Image width 240 mm, 1.00 mm slice spacing. Axial slice.
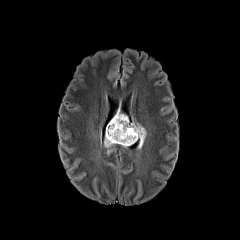
FLAIR magnetic resonance.
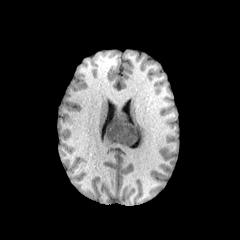
T1-weighted MR.
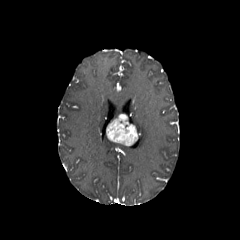
Same slice, post-contrast T1-weighted MRI.
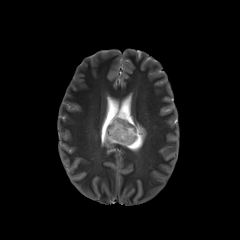
T2-weighted MR.
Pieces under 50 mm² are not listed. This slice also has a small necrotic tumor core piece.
<segmentation>
  <enhancing_tumor>106,114,140,146</enhancing_tumor>
  <peritumoral_edema>133,123,146,148; 104,135,117,148</peritumoral_edema>
</segmentation>